FLAIR MR image.
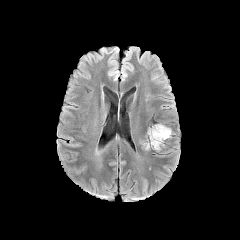
T1-weighted MR.
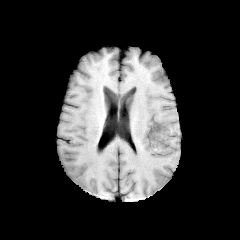
Post-contrast T1-weighted magnetic resonance.
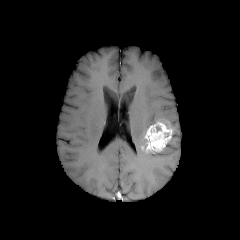
T2-weighted MR image.
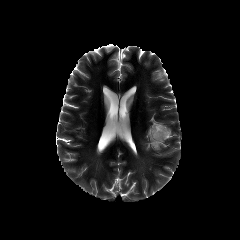
Axial view. Head.
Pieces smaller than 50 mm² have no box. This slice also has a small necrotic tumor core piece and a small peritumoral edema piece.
enhancing tumor at [144,121,172,151]